FLAIR MR image.
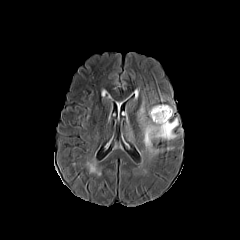
T1-weighted MR.
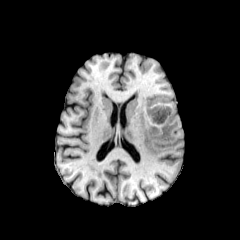
Post-contrast T1-weighted magnetic resonance.
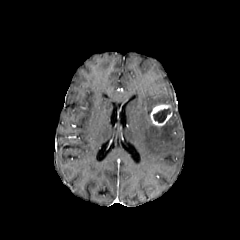
T2-weighted magnetic resonance.
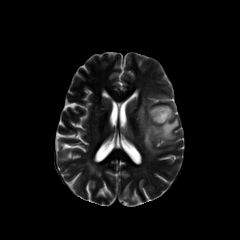
Brain, Axial plane
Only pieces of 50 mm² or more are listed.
The enhancing tumor appears at 150:104:172:126. The largest peritumoral edema region appears at 138:101:178:155. The necrotic tumor core is at 153:108:170:122.